FLAIR MR.
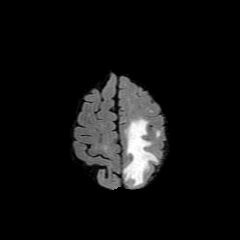
T1-weighted MR.
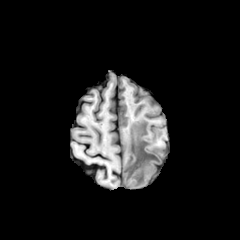
Post-contrast T1-weighted MR.
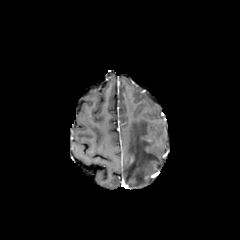
T2-weighted MRI.
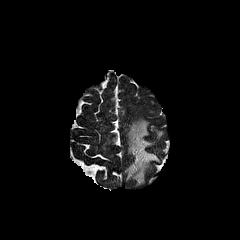
Axial slice, Head
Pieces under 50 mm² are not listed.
peritumoral edema: [124,118,157,185]